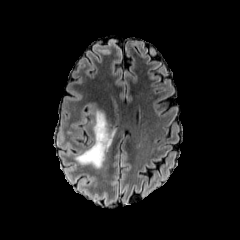
FLAIR MR.
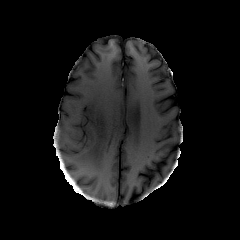
T1-weighted MR image.
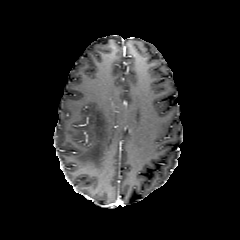
Post-contrast T1-weighted MRI.
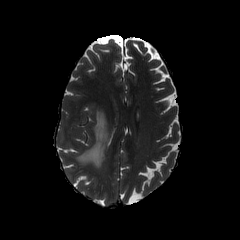
T2-weighted magnetic resonance of the same slice.
Brain.
peritumoral_edema:
  - bbox(75, 110, 114, 168)